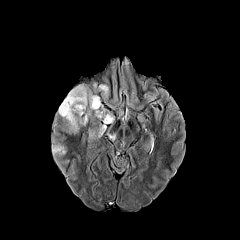
FLAIR MR image.
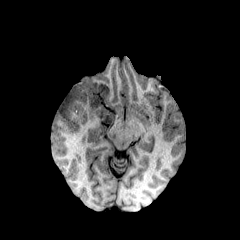
Same slice, T1-weighted magnetic resonance.
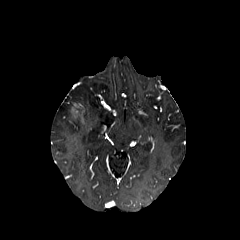
Same slice, post-contrast T1-weighted magnetic resonance.
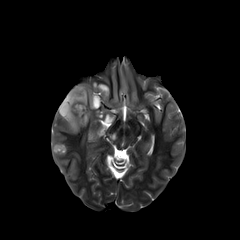
T2-weighted MRI.
Head
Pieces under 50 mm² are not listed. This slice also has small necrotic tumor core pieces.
enhancing tumor: (x1=70, y1=102, x2=85, y2=124)
peritumoral edema: (x1=58, y1=84, x2=114, y2=131), (x1=93, y1=82, x2=109, y2=97)